Image covers 240 mm x 240 mm, Head, Slice index 92
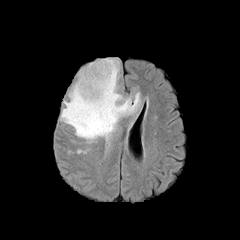
FLAIR MR image.
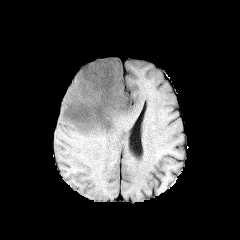
T1-weighted MR image.
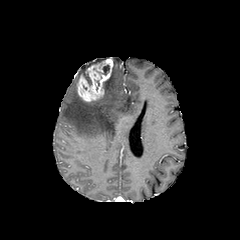
Post-contrast T1-weighted MR image of the same slice.
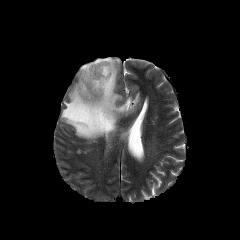
T2-weighted magnetic resonance.
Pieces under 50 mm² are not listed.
Segmented structures:
* necrotic tumor core: (x1=82, y1=71, x2=91, y2=85), (x1=103, y1=65, x2=109, y2=75)
* enhancing tumor: (x1=77, y1=58, x2=114, y2=102)
* peritumoral edema: (x1=60, y1=58, x2=140, y2=142)